Slice 99 of 155, Axial slice, Head
FLAIR magnetic resonance.
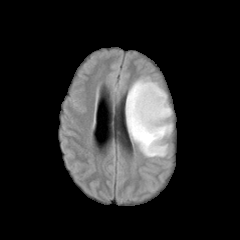
T1-weighted MRI.
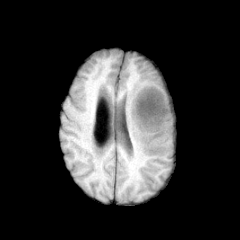
Post-contrast T1-weighted MRI.
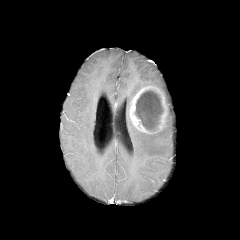
T2-weighted MR.
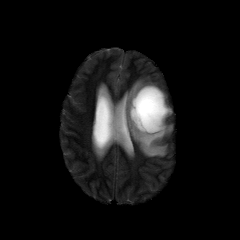
peritumoral edema = [x1=126, y1=78, x2=172, y2=157]
enhancing tumor = [x1=129, y1=85, x2=168, y2=133]
necrotic tumor core = [x1=135, y1=90, x2=163, y2=130]